FLAIR magnetic resonance.
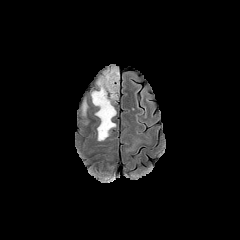
T1-weighted MR image.
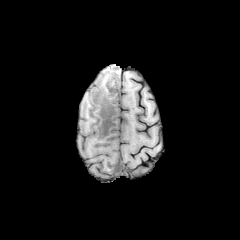
Post-contrast T1-weighted MR image.
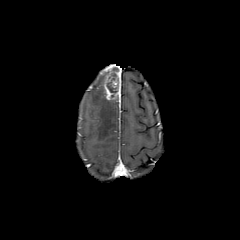
T2-weighted magnetic resonance.
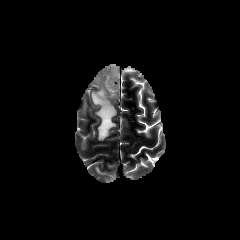
240x240. Brain. Axial slice.
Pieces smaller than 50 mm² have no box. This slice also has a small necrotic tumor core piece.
enhancing tumor = x1=103, y1=64, x2=120, y2=100
peritumoral edema = x1=91, y1=75, x2=116, y2=140; x1=79, y1=99, x2=88, y2=120